Slice 68 of 155. Axial slice. Image covers 240 mm x 240 mm.
FLAIR MR.
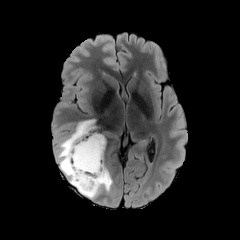
T1-weighted MR image.
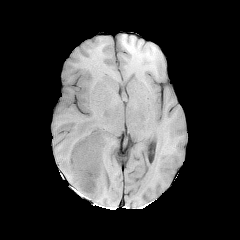
Post-contrast T1-weighted magnetic resonance.
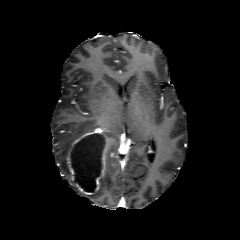
T2-weighted MR.
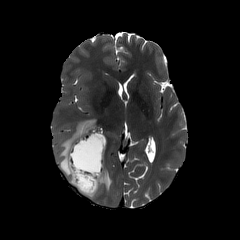
- enhancing tumor: 66,132,108,195
- necrotic tumor core: 70,134,105,191
- peritumoral edema: 56,120,95,185; 84,168,112,198